Slice 54/155
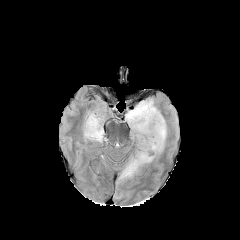
FLAIR MR image.
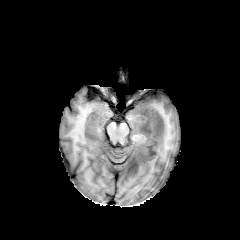
T1-weighted MRI.
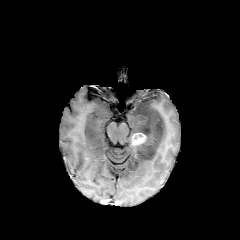
Same slice, post-contrast T1-weighted MRI.
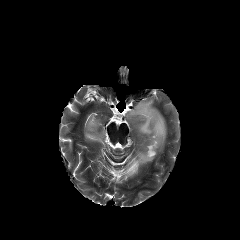
T2-weighted MR image.
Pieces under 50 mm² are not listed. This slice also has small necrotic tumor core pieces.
enhancing_tumor:
  - l=131, t=133, r=146, b=145
peritumoral_edema:
  - l=84, t=115, r=106, b=143
  - l=119, t=99, r=166, b=181